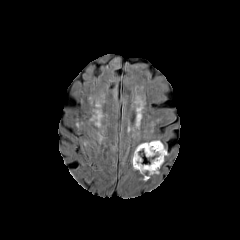
FLAIR MR image.
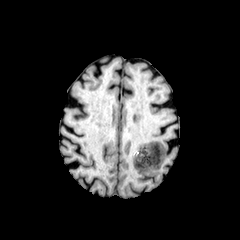
Same slice, T1-weighted MR.
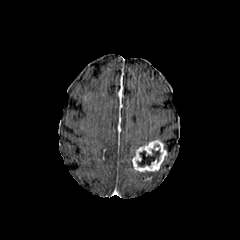
Post-contrast T1-weighted MR image.
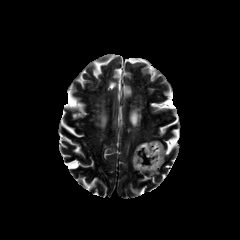
T2-weighted magnetic resonance.
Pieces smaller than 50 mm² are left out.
peritumoral edema at rect(141, 171, 159, 180); rect(131, 141, 148, 162)
necrotic tumor core at rect(137, 149, 160, 166)
enhancing tumor at rect(132, 140, 167, 172)